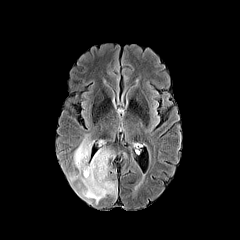
FLAIR MRI.
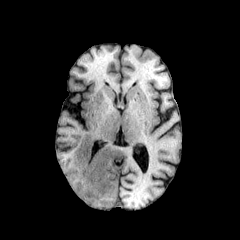
T1-weighted MR.
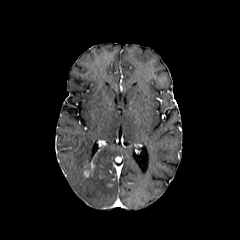
Post-contrast T1-weighted MRI.
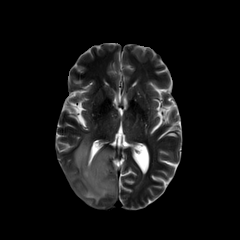
Same slice, T2-weighted magnetic resonance.
Axial slice; 240x240
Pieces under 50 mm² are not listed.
Findings:
• peritumoral edema: region(68, 135, 117, 204)
• enhancing tumor: region(83, 161, 94, 176)